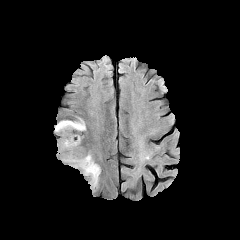
FLAIR magnetic resonance.
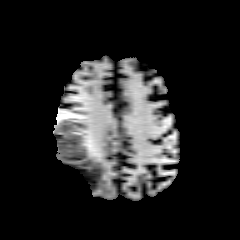
T1-weighted MRI of the same slice.
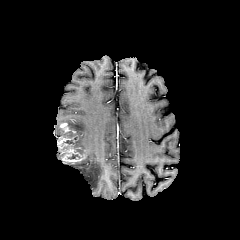
Same slice, post-contrast T1-weighted MR.
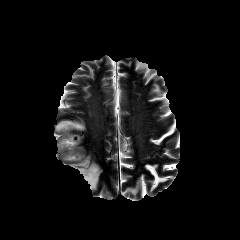
Same slice, T2-weighted MR.
Brain. 240x240.
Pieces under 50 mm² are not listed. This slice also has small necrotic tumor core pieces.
enhancing_tumor:
  - <box>57,123,86,163</box>
peritumoral_edema:
  - <box>68,154,100,190</box>
  - <box>55,118,85,135</box>